Slice index 113.
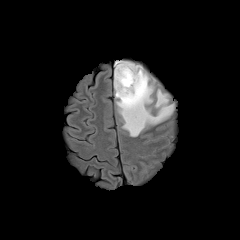
FLAIR magnetic resonance.
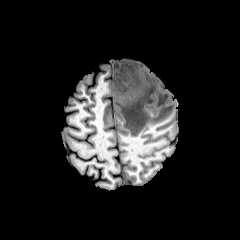
T1-weighted MR image of the same slice.
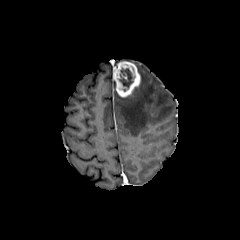
Same slice, post-contrast T1-weighted MR image.
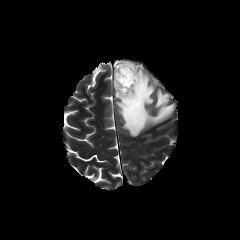
T2-weighted MRI of the same slice.
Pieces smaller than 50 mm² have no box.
The largest necrotic tumor core region is bounded by box=[119, 68, 134, 88]. The largest enhancing tumor region is bounded by box=[113, 61, 140, 97]. The largest peritumoral edema region lies within box=[114, 65, 174, 136].